Axial slice; 240x240; Brain
FLAIR magnetic resonance.
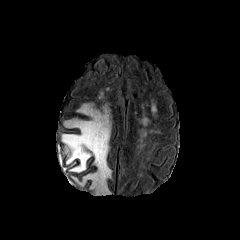
T1-weighted MR image.
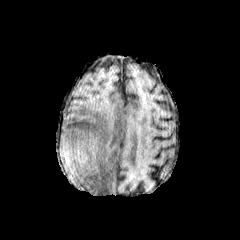
Post-contrast T1-weighted magnetic resonance.
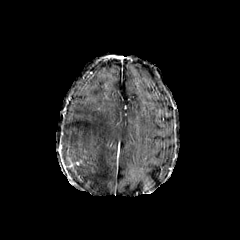
T2-weighted magnetic resonance.
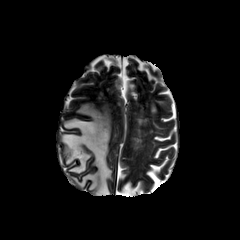
The peritumoral edema is located at (62,104,111,194).